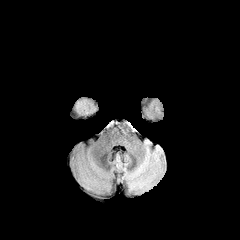
FLAIR MRI.
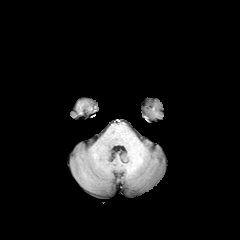
T1-weighted magnetic resonance.
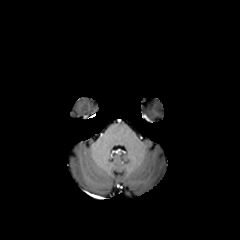
Post-contrast T1-weighted MR image.
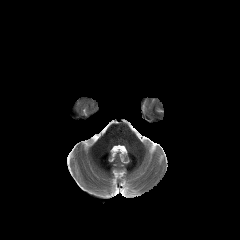
Same slice, T2-weighted MR.
Brain | 240x240 | Axial slice
peritumoral edema: region(73, 97, 97, 115)